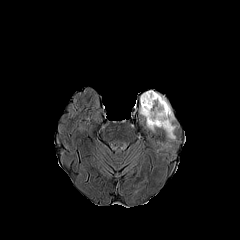
FLAIR MRI.
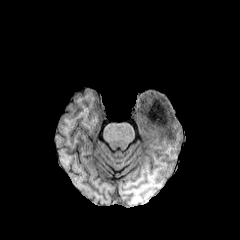
T1-weighted MR.
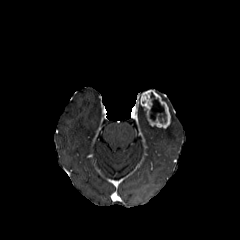
Post-contrast T1-weighted MRI.
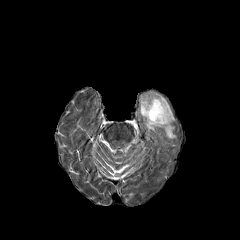
T2-weighted magnetic resonance.
Image size 240x240; Axial slice
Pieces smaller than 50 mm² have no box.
Annotated regions:
• necrotic tumor core: x1=150, y1=92, x2=166, y2=122
• enhancing tumor: x1=140, y1=90, x2=170, y2=128
• peritumoral edema: x1=139, y1=106, x2=157, y2=132; x1=163, y1=102, x2=175, y2=141